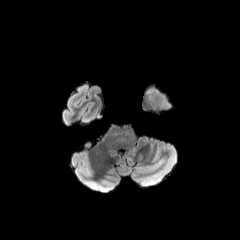
FLAIR magnetic resonance.
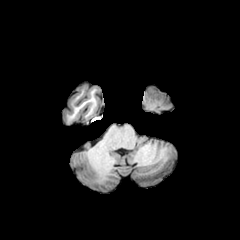
T1-weighted MR.
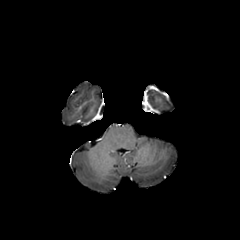
Post-contrast T1-weighted MR.
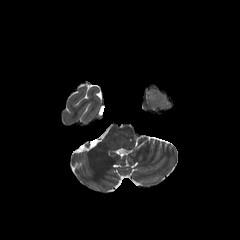
T2-weighted MR image of the same slice.
240x240. Brain. Axial plane.
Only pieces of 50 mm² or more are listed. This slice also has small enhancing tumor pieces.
- peritumoral edema: 146 89 170 107